Slice 58/155, 240x240 px, Axial view, Brain
FLAIR MR.
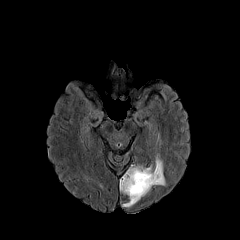
T1-weighted MR image.
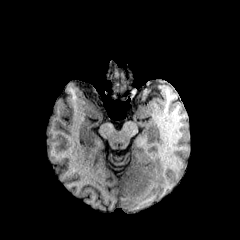
Post-contrast T1-weighted magnetic resonance.
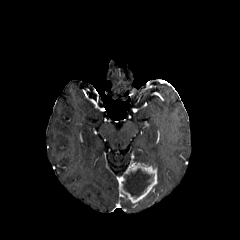
T2-weighted magnetic resonance.
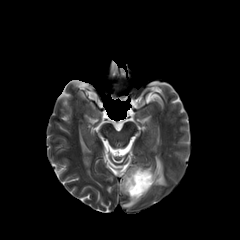
2 peritumoral edema regions are bounded by x1=153, y1=154, x2=166, y2=186; x1=122, y1=200, x2=134, y2=207. The enhancing tumor is located at x1=119, y1=163, x2=157, y2=203. The necrotic tumor core is at x1=122, y1=169, x2=151, y2=196.